Image covers 240 mm x 240 mm, Brain, Axial view
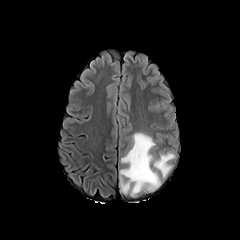
FLAIR MR image.
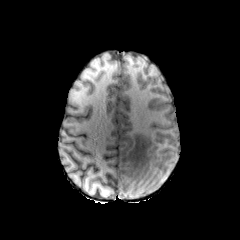
T1-weighted MR.
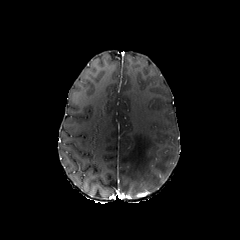
Same slice, post-contrast T1-weighted MR.
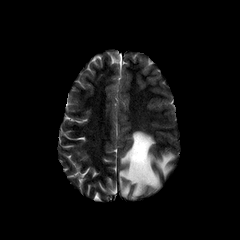
T2-weighted magnetic resonance of the same slice.
The peritumoral edema is at l=119, t=131, r=175, b=195.